Image width 240 mm, 1.00 mm slice spacing; Brain
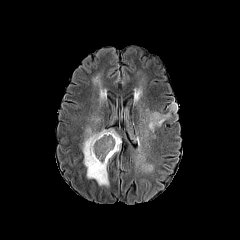
FLAIR magnetic resonance.
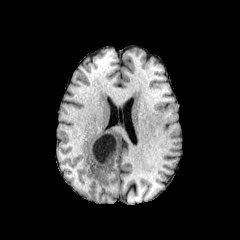
T1-weighted magnetic resonance of the same slice.
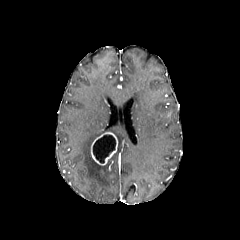
Post-contrast T1-weighted MRI.
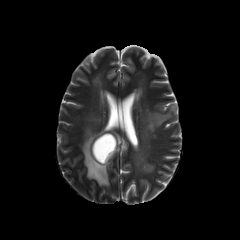
T2-weighted MR.
The necrotic tumor core is at <box>93,135,115,163</box>. 2 peritumoral edema regions are bounded by <box>82,128,121,186</box>, <box>142,104,176,135</box>. The enhancing tumor is located at <box>91,132,117,165</box>.